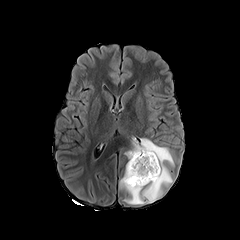
FLAIR MR.
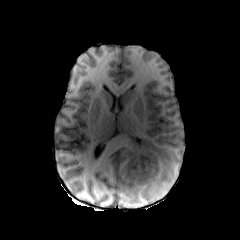
T1-weighted MRI.
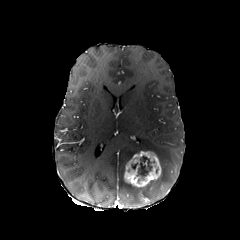
Same slice, post-contrast T1-weighted magnetic resonance.
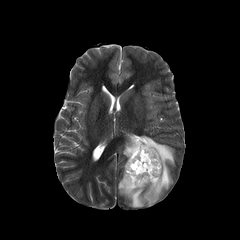
T2-weighted MR of the same slice.
Brain, 240x240 px, Axial slice
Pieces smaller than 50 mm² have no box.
The largest necrotic tumor core region is located at left=138, top=156, right=151, bottom=178. The largest enhancing tumor region is bounded by left=124, top=151, right=161, bottom=187. The peritumoral edema is at left=119, top=137, right=174, bottom=204.